Head; Image size 240x240
FLAIR magnetic resonance.
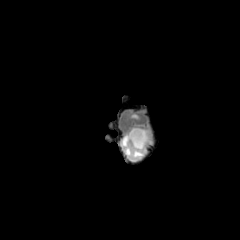
T1-weighted MR.
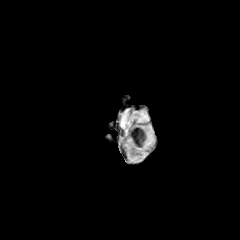
Post-contrast T1-weighted MR image.
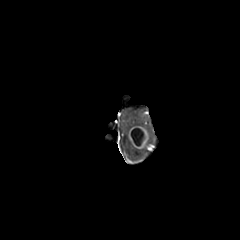
T2-weighted MRI.
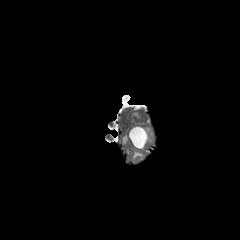
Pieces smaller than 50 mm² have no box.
- necrotic tumor core: box(131, 128, 143, 145)
- peritumoral edema: box(121, 132, 145, 160)
- enhancing tumor: box(128, 126, 149, 148)